Axial slice. Slice 110/155.
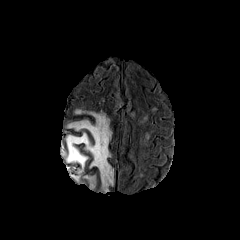
FLAIR MR image.
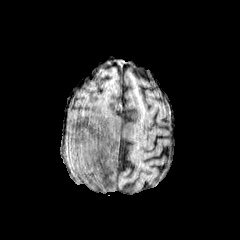
T1-weighted magnetic resonance.
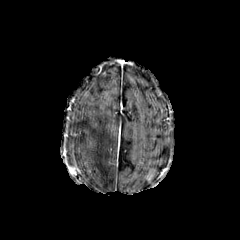
Post-contrast T1-weighted MRI of the same slice.
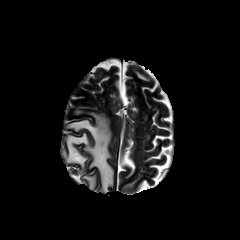
Same slice, T2-weighted MR.
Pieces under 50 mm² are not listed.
peritumoral edema: x1=66, y1=111, x2=113, y2=191